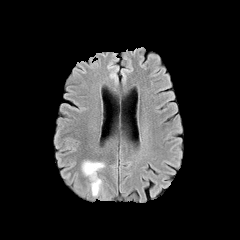
FLAIR magnetic resonance.
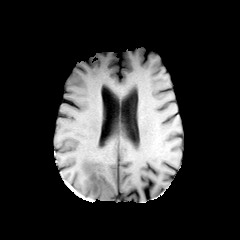
Same slice, T1-weighted MR.
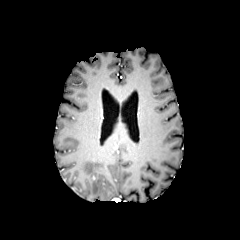
Same slice, post-contrast T1-weighted MRI.
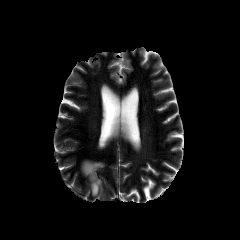
Same slice, T2-weighted MRI.
Axial view
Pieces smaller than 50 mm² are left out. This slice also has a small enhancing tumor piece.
The peritumoral edema lies within 82, 161, 104, 196.